FLAIR MR image.
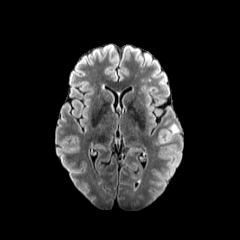
T1-weighted MRI.
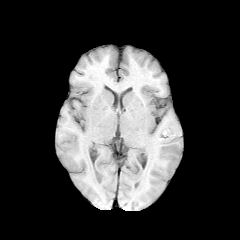
Post-contrast T1-weighted MRI.
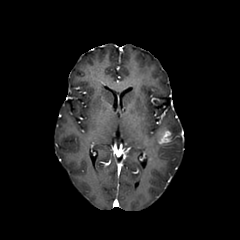
T2-weighted MRI.
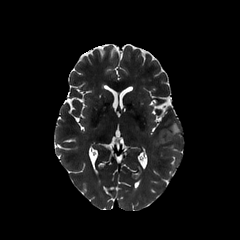
Brain
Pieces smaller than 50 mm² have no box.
enhancing tumor — 158, 130, 171, 143
peritumoral edema — 161, 123, 179, 140